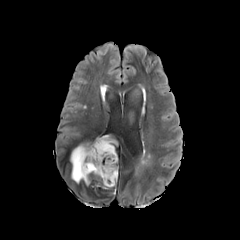
FLAIR MR image.
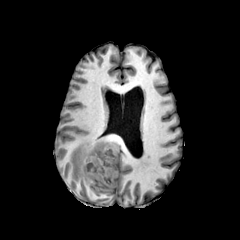
T1-weighted MR of the same slice.
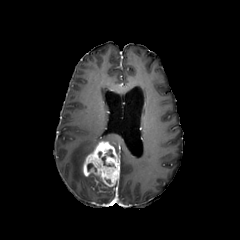
Post-contrast T1-weighted MR image of the same slice.
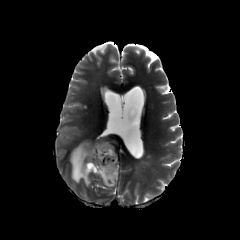
T2-weighted magnetic resonance.
Axial plane
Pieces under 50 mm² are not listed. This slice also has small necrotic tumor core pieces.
enhancing_tumor:
  - [82, 141, 119, 187]
peritumoral_edema:
  - [70, 136, 117, 185]